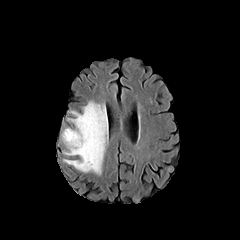
FLAIR MR image.
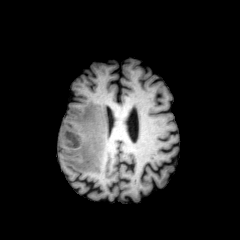
Same slice, T1-weighted magnetic resonance.
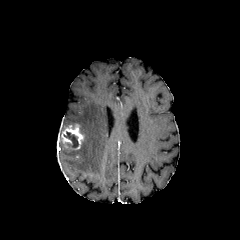
Post-contrast T1-weighted MR image of the same slice.
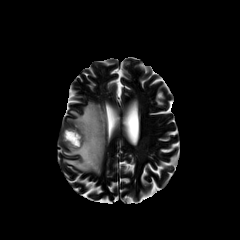
T2-weighted magnetic resonance.
<segmentation>
  <peritumoral_edema>x1=63, y1=101, x2=108, y2=174</peritumoral_edema>
  <necrotic_tumor_core>x1=64, y1=132, x2=78, y2=147</necrotic_tumor_core>
  <enhancing_tumor>x1=60, y1=123, x2=84, y2=149</enhancing_tumor>
</segmentation>